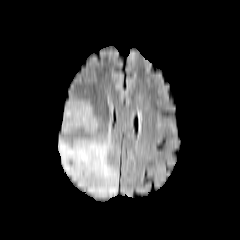
FLAIR magnetic resonance.
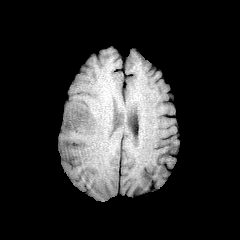
T1-weighted MR image.
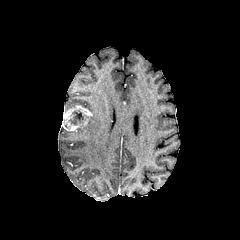
Post-contrast T1-weighted MRI.
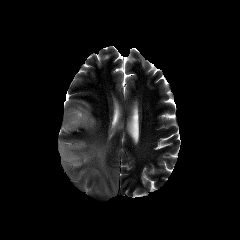
Same slice, T2-weighted magnetic resonance.
240x240 px
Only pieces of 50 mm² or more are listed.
<segmentation>
  <enhancing_tumor>x1=62, y1=105, x2=93, y2=131</enhancing_tumor>
  <peritumoral_edema>x1=58, y1=124, x2=117, y2=197; x1=64, y1=100, x2=91, y2=112; x1=77, y1=116, x2=98, y2=133</peritumoral_edema>
  <necrotic_tumor_core>x1=69, y1=110, x2=88, y2=125</necrotic_tumor_core>
</segmentation>